Axial view
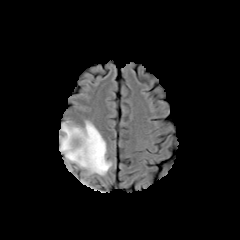
FLAIR magnetic resonance.
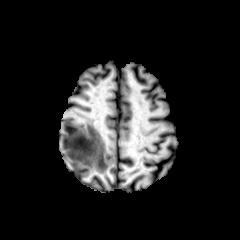
T1-weighted MRI of the same slice.
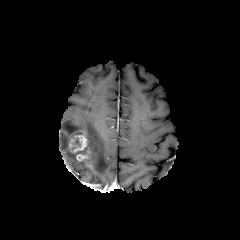
Post-contrast T1-weighted MR image.
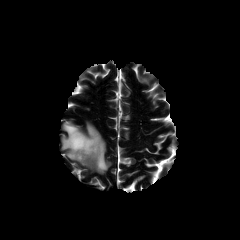
Same slice, T2-weighted MRI.
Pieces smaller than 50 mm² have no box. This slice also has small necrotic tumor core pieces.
The peritumoral edema lies within {"x1": 60, "y1": 121, "x2": 111, "y2": 175}. The largest enhancing tumor region lies within {"x1": 68, "y1": 131, "x2": 90, "y2": 160}.